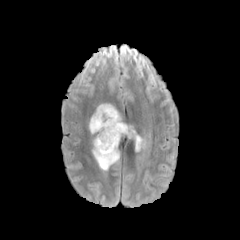
FLAIR magnetic resonance.
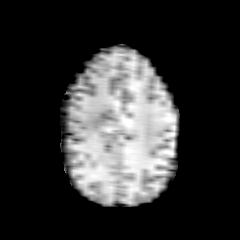
T1-weighted magnetic resonance.
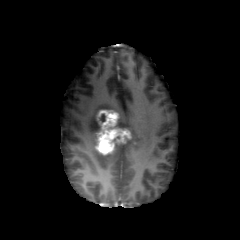
Post-contrast T1-weighted MR image.
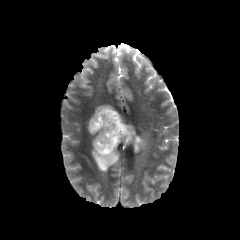
T2-weighted MRI of the same slice.
Brain.
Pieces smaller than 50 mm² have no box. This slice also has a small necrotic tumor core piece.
<segmentation>
  <enhancing_tumor>[95,110,131,154]</enhancing_tumor>
  <peritumoral_edema>[116,114,146,151], [93,136,120,171], [89,103,118,133]</peritumoral_edema>
</segmentation>